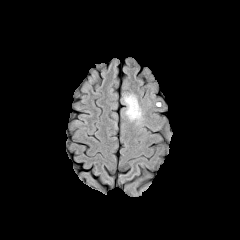
FLAIR MR.
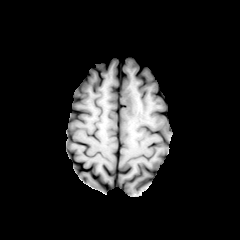
T1-weighted MR image.
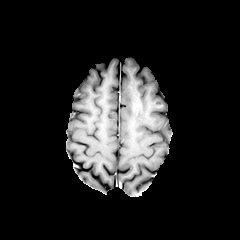
Post-contrast T1-weighted magnetic resonance.
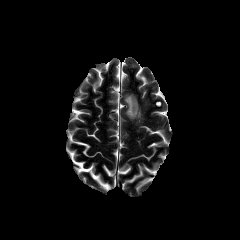
T2-weighted MRI of the same slice.
Axial slice
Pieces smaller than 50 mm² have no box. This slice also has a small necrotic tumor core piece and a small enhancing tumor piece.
The peritumoral edema is located at 123 93 142 123.